FLAIR MR.
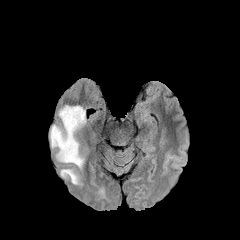
T1-weighted magnetic resonance.
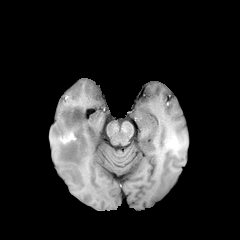
Post-contrast T1-weighted magnetic resonance.
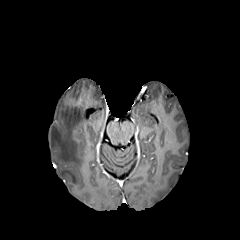
T2-weighted MR image.
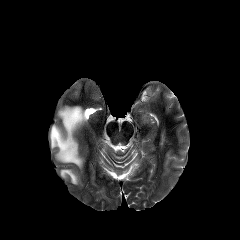
Axial plane; 240x240
{"peritumoral_edema": ["[50, 105, 86, 168]", "[60, 169, 80, 184]"]}